Axial plane; Brain; Image covers 240 mm x 240 mm
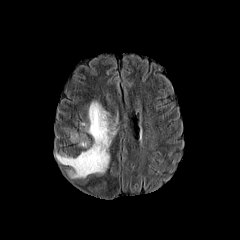
FLAIR MRI.
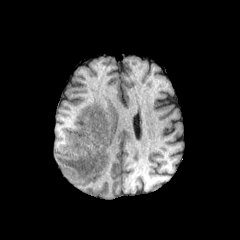
T1-weighted MR of the same slice.
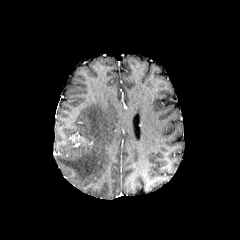
Same slice, post-contrast T1-weighted magnetic resonance.
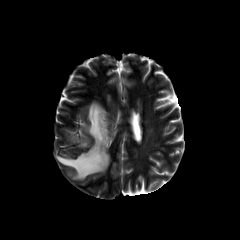
T2-weighted MR image.
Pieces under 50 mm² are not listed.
The enhancing tumor lies within region(70, 134, 85, 144). The largest peritumoral edema region is at region(55, 101, 116, 178).